FLAIR magnetic resonance.
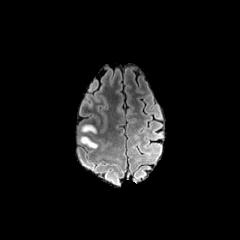
T1-weighted MRI.
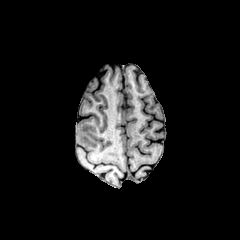
Post-contrast T1-weighted MR image.
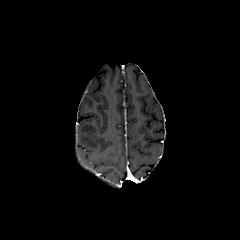
T2-weighted MR.
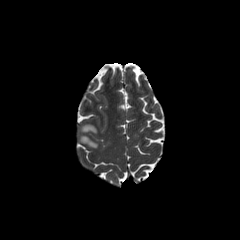
Head. 240x240 px.
{"peritumoral_edema": ["81,125,96,132", "80,136,97,148"]}